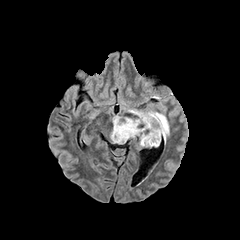
FLAIR MR image.
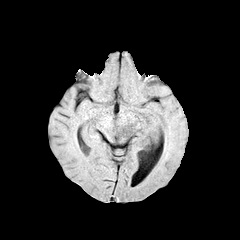
T1-weighted MR of the same slice.
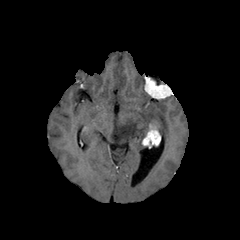
Post-contrast T1-weighted MR image.
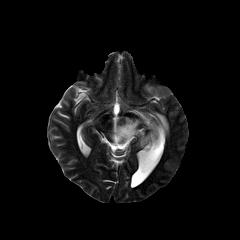
T2-weighted MR image.
Axial view
The enhancing tumor is bounded by (x1=142, y1=125, x2=160, y2=148). The peritumoral edema lies within (x1=110, y1=109, x2=169, y2=146).